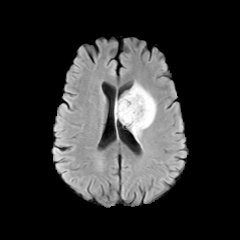
FLAIR MR.
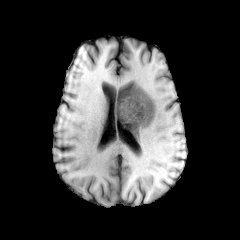
T1-weighted MR.
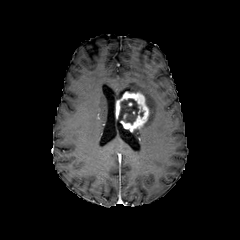
Post-contrast T1-weighted MR image.
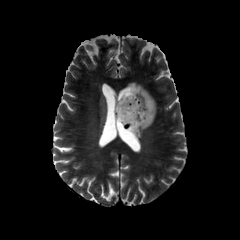
T2-weighted MRI.
Image size 240x240; Brain
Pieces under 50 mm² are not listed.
* enhancing tumor: 115 91 149 131
* peritumoral edema: 128 83 156 141
* necrotic tumor core: 119 99 138 123